Slice 51/155. 240x240 px.
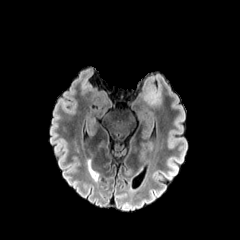
FLAIR MR image.
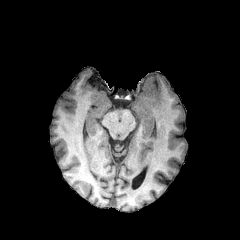
Same slice, T1-weighted magnetic resonance.
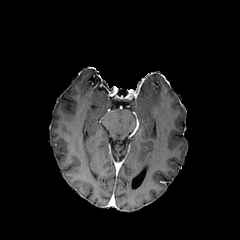
Same slice, post-contrast T1-weighted MR image.
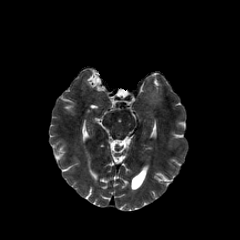
T2-weighted magnetic resonance.
peritumoral edema: bounding box 144 90 160 105